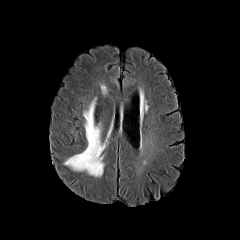
FLAIR magnetic resonance.
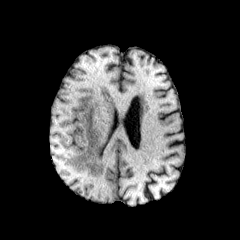
Same slice, T1-weighted MR.
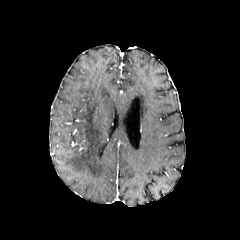
Post-contrast T1-weighted MRI of the same slice.
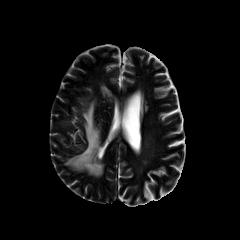
T2-weighted MR image.
The peritumoral edema is at left=64, top=100, right=105, bottom=176.